Slice 82/155 | Axial plane | Head
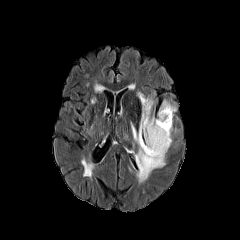
FLAIR MR image.
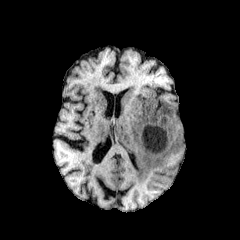
Same slice, T1-weighted magnetic resonance.
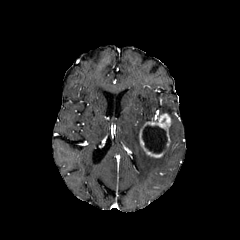
Post-contrast T1-weighted MRI.
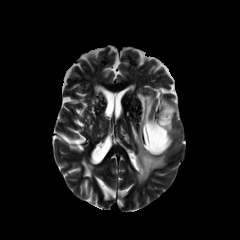
T2-weighted magnetic resonance.
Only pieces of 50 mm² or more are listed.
<segmentation>
  <necrotic_tumor_core>l=142, t=125, r=167, b=153</necrotic_tumor_core>
  <enhancing_tumor>l=139, t=113, r=171, b=157</enhancing_tumor>
  <peritumoral_edema>l=158, t=100, r=176, b=144; l=138, t=92, r=154, b=131; l=131, t=123, r=165, b=182</peritumoral_edema>
</segmentation>